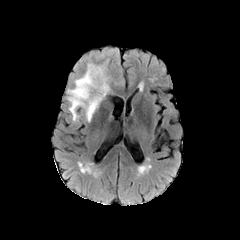
FLAIR magnetic resonance.
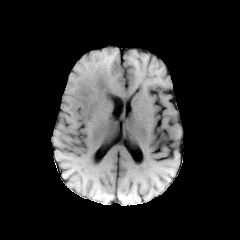
T1-weighted magnetic resonance of the same slice.
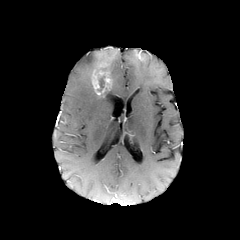
Post-contrast T1-weighted MRI.
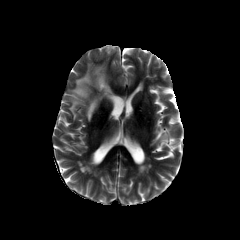
T2-weighted MR image of the same slice.
Axial plane.
Annotated regions:
* necrotic tumor core: [97,76,105,91]
* peritumoral edema: [67,64,110,121]
* enhancing tumor: [92,71,109,95]